FLAIR MR.
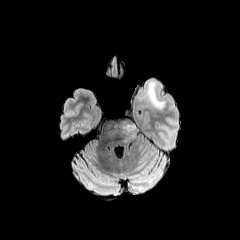
T1-weighted MR.
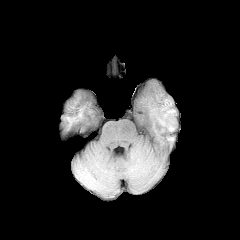
Post-contrast T1-weighted magnetic resonance.
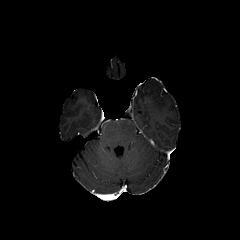
T2-weighted MRI.
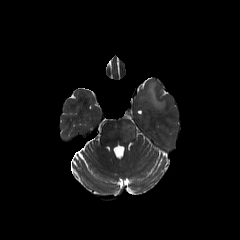
240x240 px. Axial view.
2 peritumoral edema regions appear at left=121, top=121, right=136, bottom=140; left=147, top=82, right=165, bottom=109.